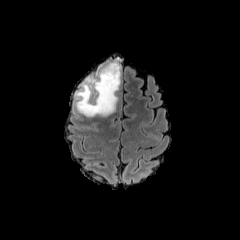
FLAIR MR image.
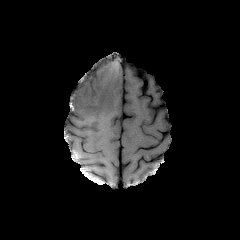
T1-weighted MRI.
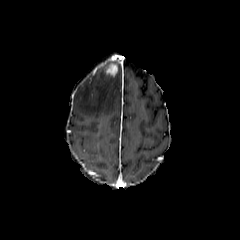
Post-contrast T1-weighted MR image.
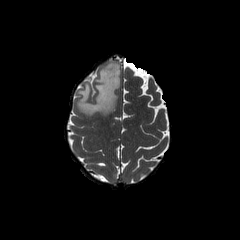
T2-weighted MR.
240x240 px. Axial slice.
Annotated regions:
• peritumoral edema: left=76, top=60, right=121, bottom=117
• enhancing tumor: left=105, top=62, right=117, bottom=76